Axial view; Slice 102 of 155; Head
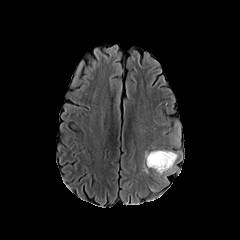
FLAIR magnetic resonance.
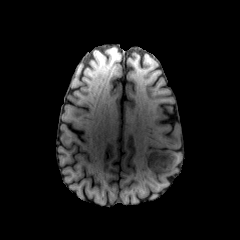
Same slice, T1-weighted MR image.
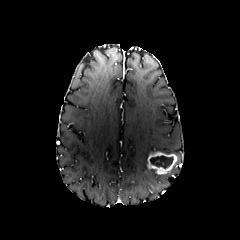
Same slice, post-contrast T1-weighted magnetic resonance.
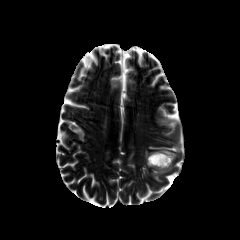
T2-weighted magnetic resonance of the same slice.
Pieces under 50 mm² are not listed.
Findings:
- enhancing tumor: {"x1": 147, "y1": 151, "x2": 176, "y2": 174}
- necrotic tumor core: {"x1": 150, "y1": 155, "x2": 173, "y2": 168}
- peritumoral edema: {"x1": 150, "y1": 150, "x2": 182, "y2": 187}, {"x1": 169, "y1": 119, "x2": 182, "y2": 147}